FLAIR MRI.
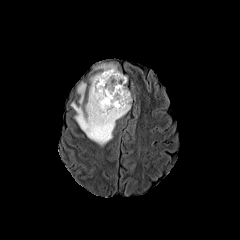
T1-weighted magnetic resonance.
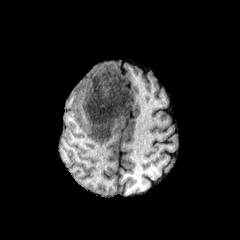
Post-contrast T1-weighted MRI.
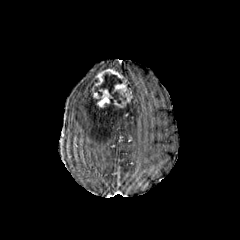
T2-weighted magnetic resonance.
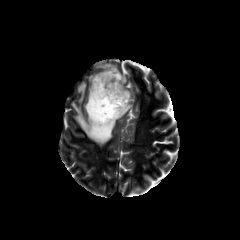
240x240, Brain
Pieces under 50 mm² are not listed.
The 2 largest peritumoral edema regions are located at region(71, 76, 131, 145); region(96, 64, 120, 72). The largest necrotic tumor core region lies within region(94, 73, 126, 109). The enhancing tumor appears at region(92, 68, 132, 107).